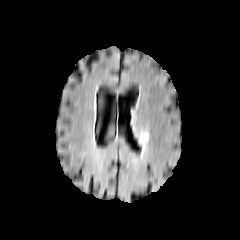
FLAIR MR.
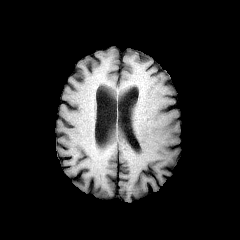
T1-weighted MRI.
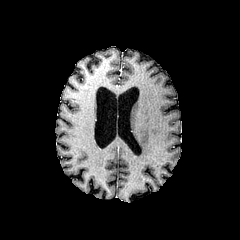
Post-contrast T1-weighted magnetic resonance.
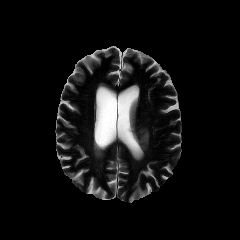
T2-weighted magnetic resonance of the same slice.
Axial slice
peritumoral edema: 139,130,148,149